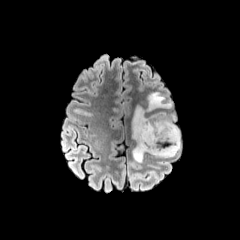
FLAIR magnetic resonance.
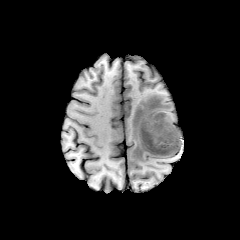
Same slice, T1-weighted magnetic resonance.
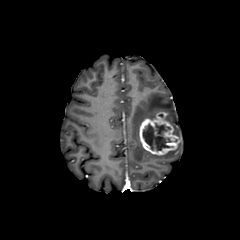
Post-contrast T1-weighted MRI.
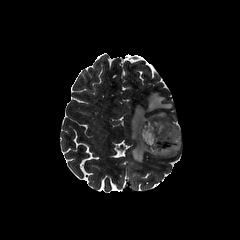
Same slice, T2-weighted MRI.
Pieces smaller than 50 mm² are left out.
* peritumoral edema: box(131, 92, 180, 162); box(166, 113, 180, 138)
* necrotic tumor core: box(142, 123, 171, 150)
* enhancing tumor: box(139, 112, 180, 155)